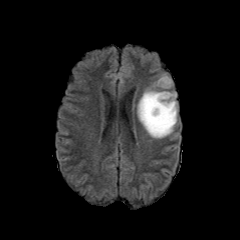
FLAIR magnetic resonance.
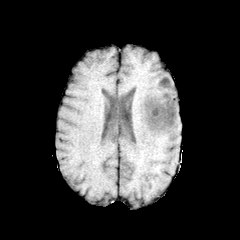
T1-weighted MR.
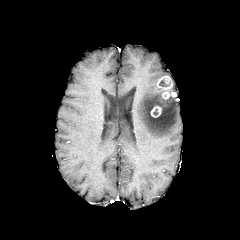
Same slice, post-contrast T1-weighted MR.
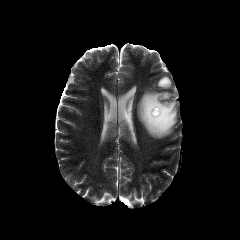
Same slice, T2-weighted MR image.
Axial slice
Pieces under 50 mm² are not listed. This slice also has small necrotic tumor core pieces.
{
  "peritumoral_edema": [
    "137 89 177 138"
  ],
  "enhancing_tumor": [
    "151 106 161 117",
    "157 76 176 99"
  ]
}